Axial view; Slice index 56; Head
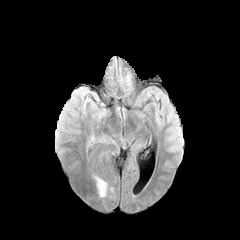
FLAIR magnetic resonance.
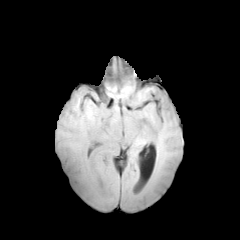
T1-weighted magnetic resonance.
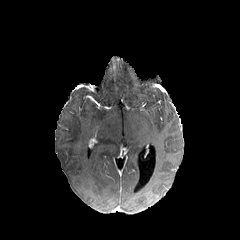
Post-contrast T1-weighted MRI of the same slice.
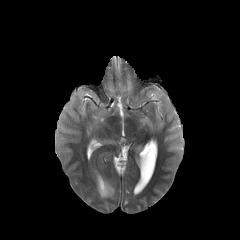
T2-weighted MR image of the same slice.
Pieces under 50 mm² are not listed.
peritumoral_edema:
  - bbox=[96, 177, 108, 197]